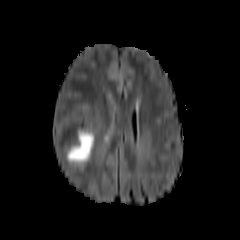
FLAIR magnetic resonance.
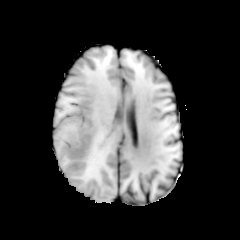
T1-weighted MRI.
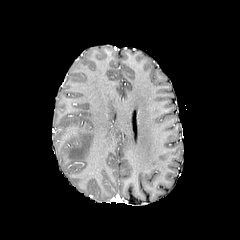
Post-contrast T1-weighted MRI.
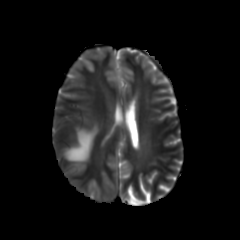
Same slice, T2-weighted MR.
Image size 240x240; Brain
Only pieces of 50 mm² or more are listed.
peritumoral edema at rect(66, 128, 93, 161)